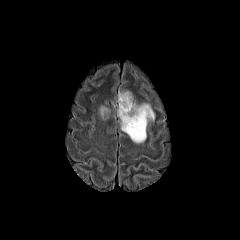
FLAIR MR image.
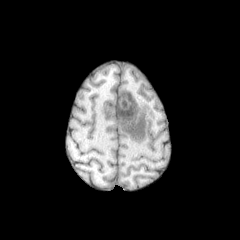
T1-weighted MR.
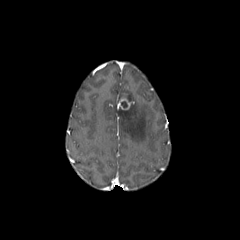
Post-contrast T1-weighted MR image.
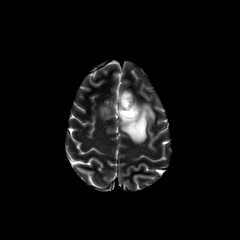
Same slice, T2-weighted MR.
Brain
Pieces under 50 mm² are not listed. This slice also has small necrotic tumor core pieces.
peritumoral edema: box=[100, 106, 108, 117]; box=[118, 103, 154, 143] | enhancing tumor: box=[118, 93, 131, 110]